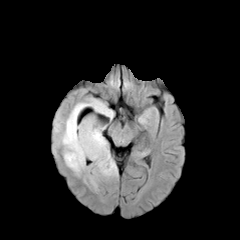
FLAIR MR image.
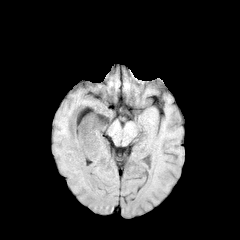
T1-weighted MR of the same slice.
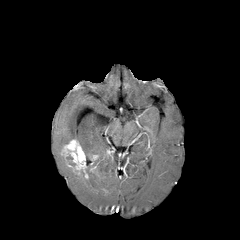
Same slice, post-contrast T1-weighted magnetic resonance.
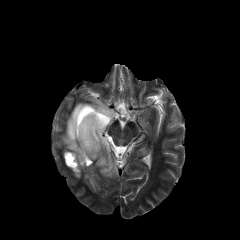
T2-weighted magnetic resonance.
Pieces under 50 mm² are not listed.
The necrotic tumor core is bounded by 66:155:75:166. The largest enhancing tumor region is at 62:139:88:178. The largest peritumoral edema region appears at 56:98:117:191.